FLAIR MR.
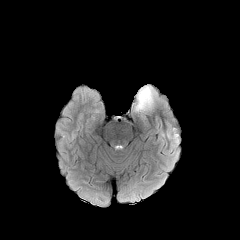
T1-weighted magnetic resonance.
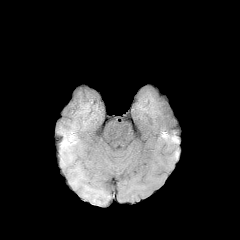
Post-contrast T1-weighted MRI.
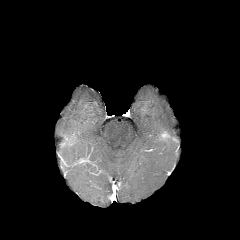
T2-weighted MR.
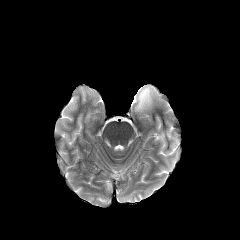
Image size 240x240, Head
{
  "peritumoral_edema": [
    "133 85 160 113"
  ]
}